240x240; Axial view
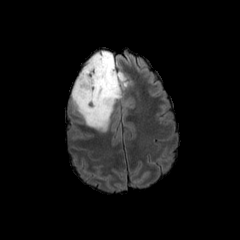
FLAIR MR image.
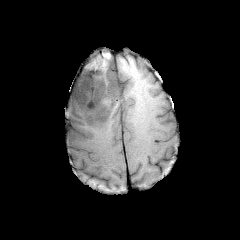
T1-weighted magnetic resonance.
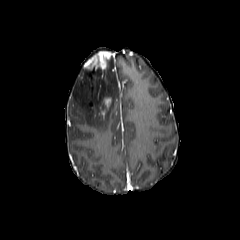
Same slice, post-contrast T1-weighted MR.
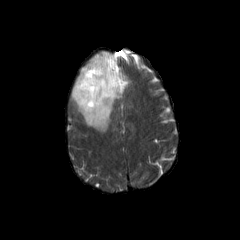
T2-weighted magnetic resonance.
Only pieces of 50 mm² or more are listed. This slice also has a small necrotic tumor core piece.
The peritumoral edema is bounded by (x1=71, y1=55, x2=127, y2=132). 2 enhancing tumor regions appear at (x1=84, y1=51, x2=111, y2=71), (x1=98, y1=97, x2=111, y2=118).